240x240 px
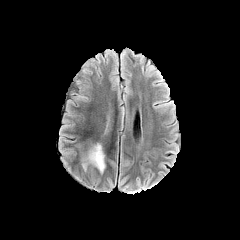
FLAIR MR.
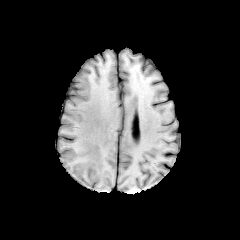
Same slice, T1-weighted MRI.
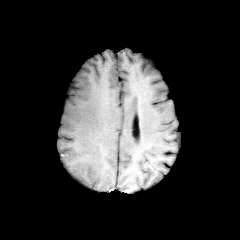
Post-contrast T1-weighted magnetic resonance.
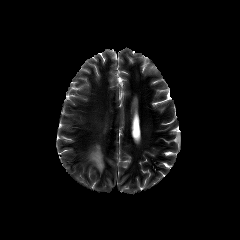
Same slice, T2-weighted MR image.
{"peritumoral_edema": ["(x1=74, y1=137, x2=107, y2=175)"]}